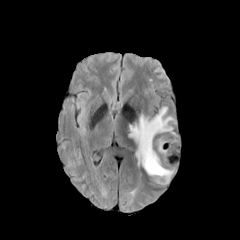
FLAIR MR image.
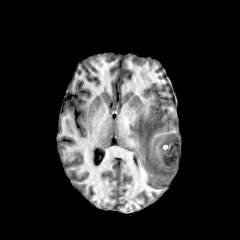
T1-weighted MRI.
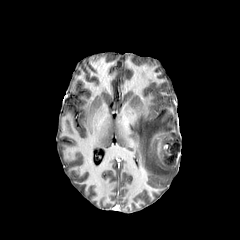
Same slice, post-contrast T1-weighted MR image.
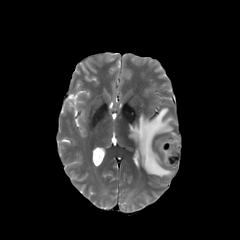
T2-weighted MRI.
Axial plane. Head.
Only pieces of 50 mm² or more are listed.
The peritumoral edema is located at <box>129,107,176,176</box>. The 2 largest enhancing tumor regions appear at <box>163,144,171,154</box>, <box>156,134,175,168</box>. The necrotic tumor core appears at <box>160,137,179,165</box>.